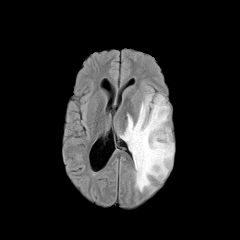
FLAIR MR.
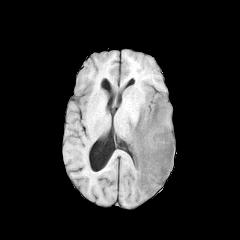
T1-weighted magnetic resonance of the same slice.
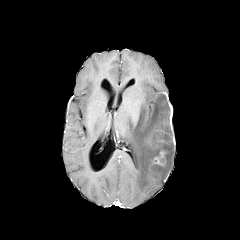
Post-contrast T1-weighted MR image.
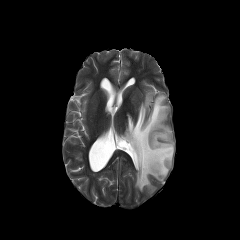
T2-weighted MRI.
240x240 | Head
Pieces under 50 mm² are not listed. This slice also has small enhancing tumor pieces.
peritumoral edema: 120:93:174:192